Axial plane
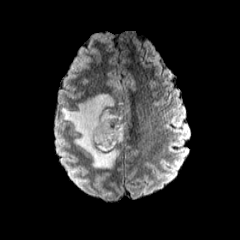
FLAIR MR image.
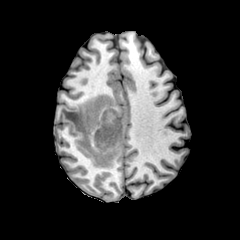
T1-weighted MR image.
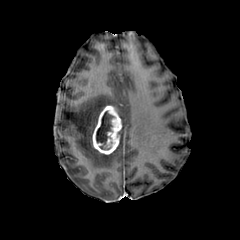
Post-contrast T1-weighted MR image.
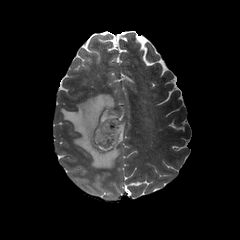
Same slice, T2-weighted MR.
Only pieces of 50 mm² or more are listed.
peritumoral edema: bounding box (left=61, top=94, right=119, bottom=168), (left=117, top=110, right=125, bottom=142)
enhancing tumor: bounding box (left=92, top=105, right=122, bottom=155)
necrotic tumor core: bounding box (left=95, top=110, right=115, bottom=151)